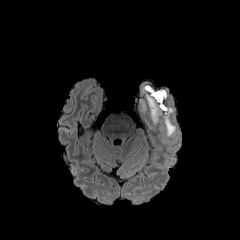
FLAIR MR image.
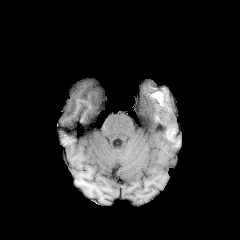
Same slice, T1-weighted magnetic resonance.
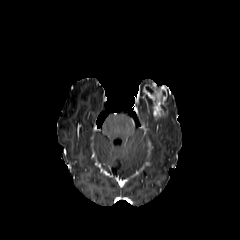
Post-contrast T1-weighted magnetic resonance of the same slice.
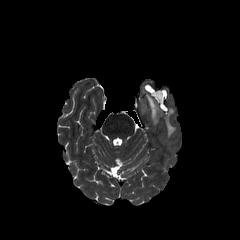
T2-weighted MRI.
Axial plane. Image size 240x240.
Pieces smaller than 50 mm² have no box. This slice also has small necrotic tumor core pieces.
peritumoral_edema:
  - (141, 100, 147, 113)
  - (163, 105, 175, 136)
enhancing_tumor:
  - (142, 83, 167, 119)